FLAIR MR.
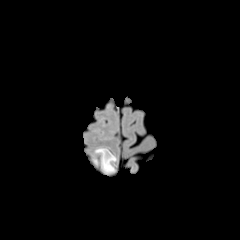
T1-weighted MR.
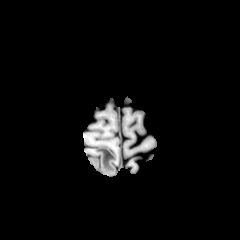
Post-contrast T1-weighted MR image.
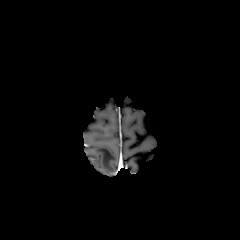
T2-weighted MR image.
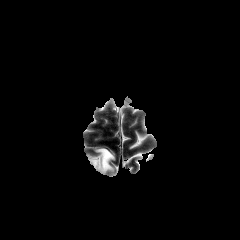
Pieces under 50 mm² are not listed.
peritumoral edema: [x1=97, y1=148, x2=114, y2=170]